FLAIR MR image.
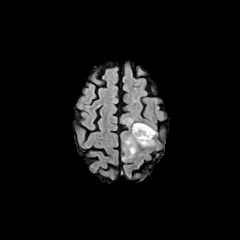
T1-weighted MRI.
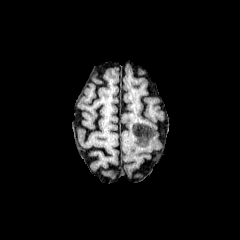
Post-contrast T1-weighted magnetic resonance.
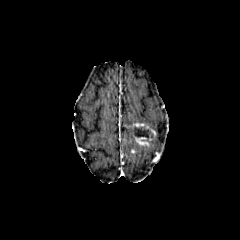
T2-weighted MR image.
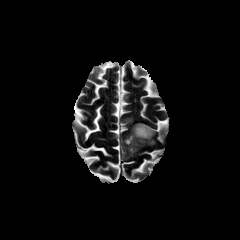
Axial view; Brain
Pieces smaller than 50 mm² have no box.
The largest enhancing tumor region appears at l=132, t=123, r=156, b=146. The 2 largest peritumoral edema regions are bounded by l=125, t=129, r=138, b=157; l=124, t=118, r=133, b=125. The largest necrotic tumor core region is bounded by l=133, t=127, r=150, b=137.